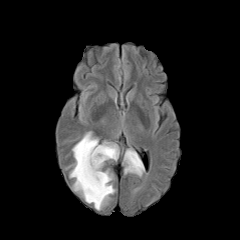
FLAIR MR image.
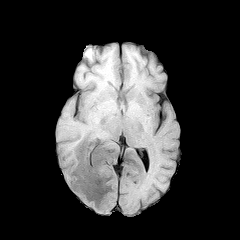
T1-weighted MRI.
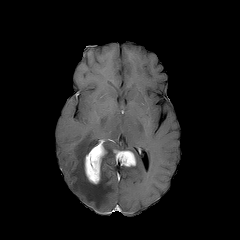
Post-contrast T1-weighted magnetic resonance.
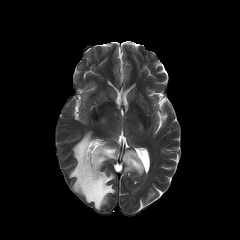
T2-weighted MR image.
Axial plane; Brain
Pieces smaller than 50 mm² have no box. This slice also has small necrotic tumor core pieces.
2 peritumoral edema regions appear at box=[124, 149, 144, 176]; box=[69, 131, 119, 210]. 2 enhancing tumor regions appear at box=[113, 150, 136, 166]; box=[84, 142, 106, 184].